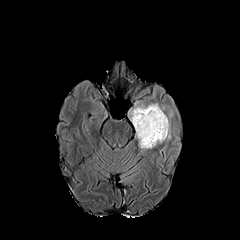
FLAIR MRI.
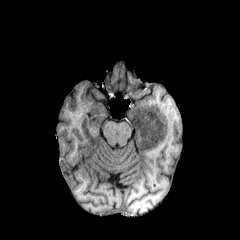
T1-weighted MRI of the same slice.
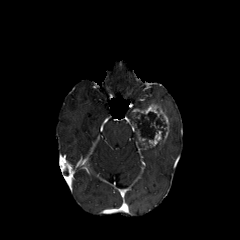
Same slice, post-contrast T1-weighted MRI.
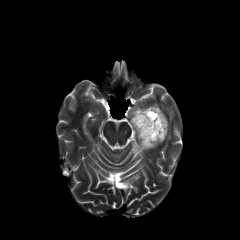
Same slice, T2-weighted MR image.
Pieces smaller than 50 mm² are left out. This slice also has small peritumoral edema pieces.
The largest necrotic tumor core region is at (x1=133, y1=111, x2=166, y2=145). The 2 largest enhancing tumor regions are located at (x1=136, y1=130, x2=161, y2=148), (x1=132, y1=103, x2=169, y2=139).